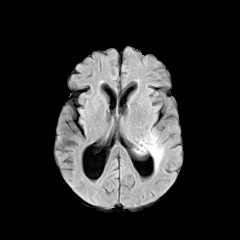
FLAIR MR image.
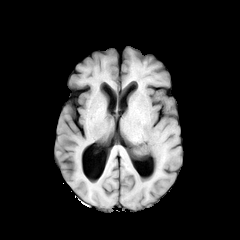
T1-weighted MR image of the same slice.
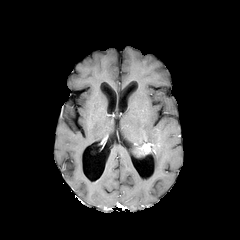
Post-contrast T1-weighted MR of the same slice.
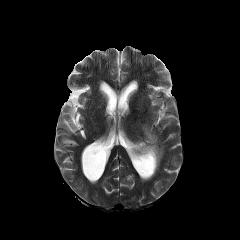
T2-weighted MRI.
Axial view
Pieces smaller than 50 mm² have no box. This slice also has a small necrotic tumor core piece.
The largest enhancing tumor region is located at l=137, t=143, r=156, b=154. The largest peritumoral edema region is bounded by l=135, t=128, r=163, b=170.